FLAIR MR.
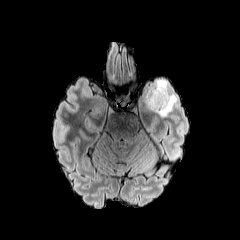
T1-weighted MR image.
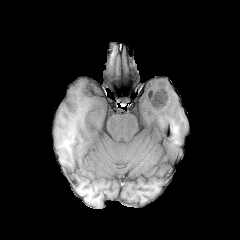
Post-contrast T1-weighted MR.
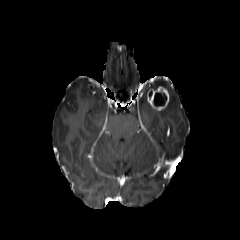
T2-weighted MRI.
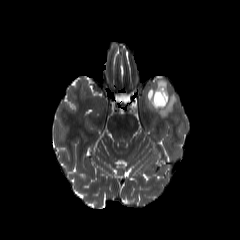
240x240; Brain
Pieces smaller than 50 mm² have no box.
Findings:
• enhancing tumor: (147,86,169,110)
• necrotic tumor core: (154,92,166,106)
• peritumoral edema: (145,78,177,117)